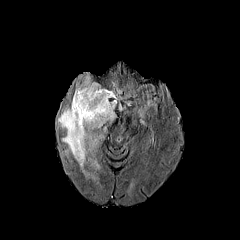
FLAIR MRI.
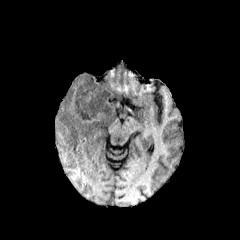
T1-weighted MRI of the same slice.
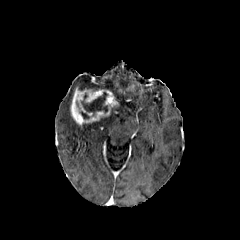
Same slice, post-contrast T1-weighted magnetic resonance.
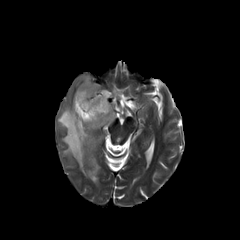
T2-weighted MR image of the same slice.
Head
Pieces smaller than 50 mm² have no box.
necrotic tumor core at x1=81 y1=92 x2=107 y2=115
peritumoral edema at x1=88 y1=158 x2=99 y2=170, x1=76 y1=75 x2=102 y2=90, x1=111 y1=83 x2=122 y2=100, x1=57 y1=105 x2=115 y2=180
enhancing tumor at x1=70 y1=87 x2=116 y2=127